Image size 240x240. Axial plane.
FLAIR MR image.
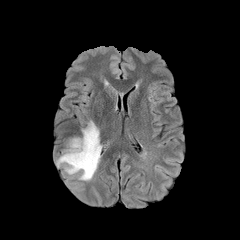
T1-weighted MR image.
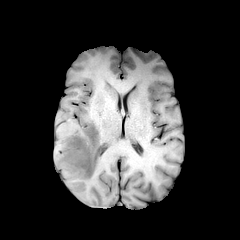
Post-contrast T1-weighted magnetic resonance.
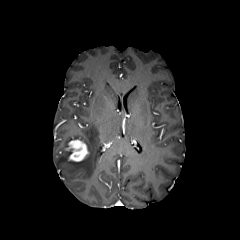
T2-weighted MRI.
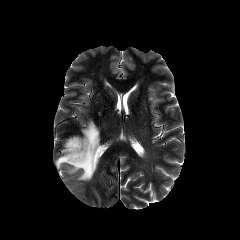
enhancing tumor: 66:139:89:161 | peritumoral edema: 56:121:101:180